FLAIR MR.
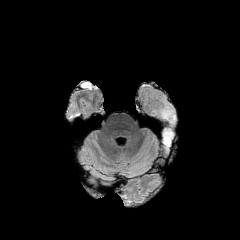
T1-weighted MR.
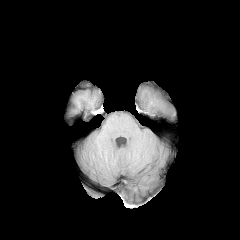
Post-contrast T1-weighted MR image.
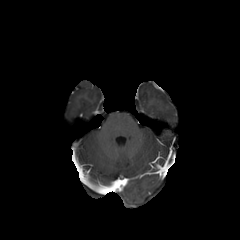
T2-weighted MR.
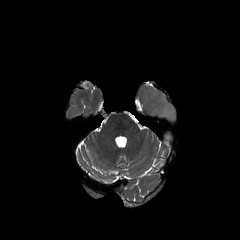
Image size 240x240 | Axial view
• peritumoral edema: (162,129,173,151), (148,95,174,121)